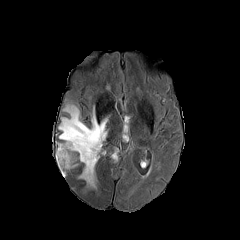
FLAIR MRI.
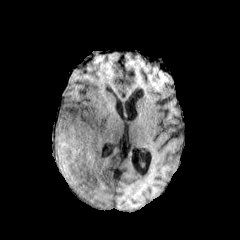
T1-weighted MR image of the same slice.
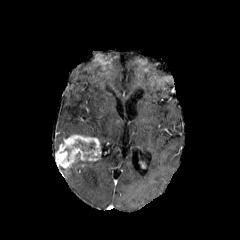
Post-contrast T1-weighted MR image.
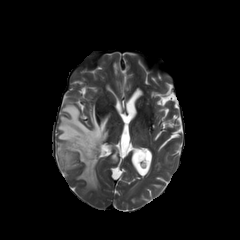
Same slice, T2-weighted MR image.
240x240 px | Axial view
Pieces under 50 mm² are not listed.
{
  "peritumoral_edema": [
    {"x1": 58, "y1": 104, "x2": 107, "y2": 146},
    {"x1": 79, "y1": 161, "x2": 96, "y2": 188}
  ],
  "enhancing_tumor": [
    {"x1": 55, "y1": 134, "x2": 101, "y2": 169}
  ],
  "necrotic_tumor_core": [
    {"x1": 79, "y1": 141, "x2": 94, "y2": 150}
  ]
}